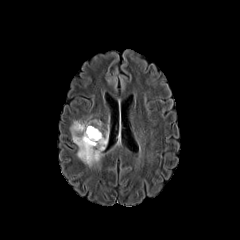
FLAIR MR.
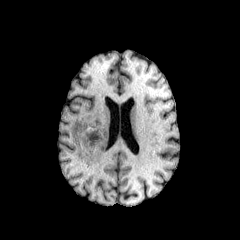
T1-weighted MR of the same slice.
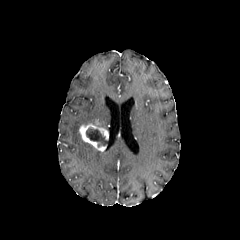
Post-contrast T1-weighted MR of the same slice.
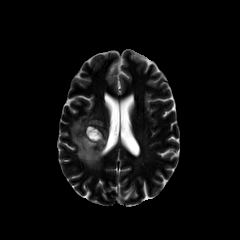
Same slice, T2-weighted MR.
240x240 | Axial slice
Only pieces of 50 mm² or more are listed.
<segmentation>
  <peritumoral_edema>bbox(70, 116, 103, 166)</peritumoral_edema>
  <enhancing_tumor>bbox(79, 119, 108, 151)</enhancing_tumor>
  <necrotic_tumor_core>bbox(86, 127, 107, 146)</necrotic_tumor_core>
</segmentation>